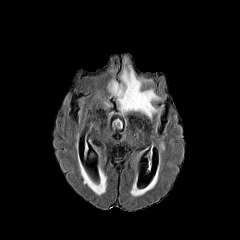
FLAIR MRI.
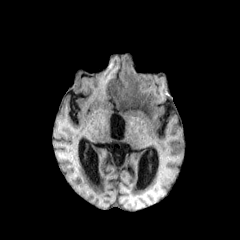
T1-weighted MR image.
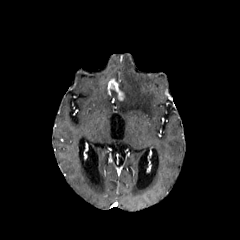
Post-contrast T1-weighted MR.
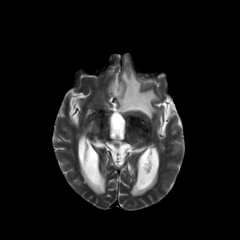
T2-weighted MRI.
Brain
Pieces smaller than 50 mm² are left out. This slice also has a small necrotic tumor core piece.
enhancing_tumor:
  - x1=107, y1=79, x2=124, y2=100
peritumoral_edema:
  - x1=82, y1=167, x2=105, y2=194
  - x1=117, y1=65, x2=159, y2=118